FLAIR MRI.
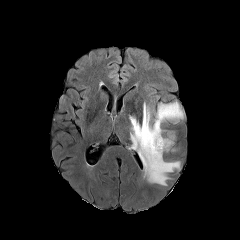
T1-weighted MRI.
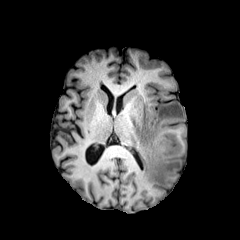
Post-contrast T1-weighted magnetic resonance.
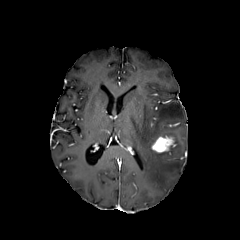
T2-weighted magnetic resonance.
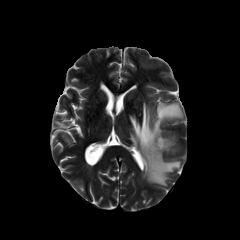
peritumoral edema = x1=130, y1=102, x2=183, y2=185
enhancing tumor = x1=151, y1=136, x2=174, y2=152